Image covers 240 mm x 240 mm | Brain
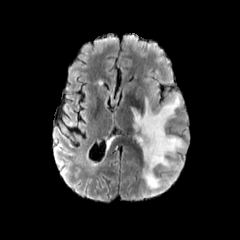
FLAIR MR.
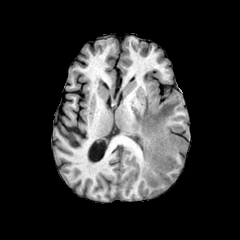
T1-weighted magnetic resonance.
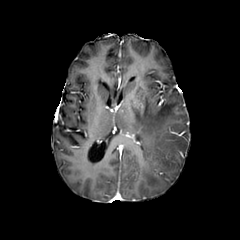
Post-contrast T1-weighted MR of the same slice.
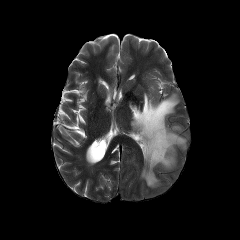
T2-weighted MRI of the same slice.
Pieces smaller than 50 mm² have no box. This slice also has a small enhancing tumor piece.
Findings:
* peritumoral edema: x1=131, y1=95, x2=186, y2=188